FLAIR MR.
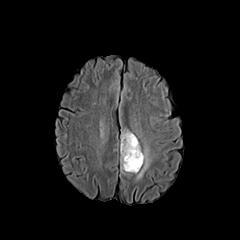
T1-weighted MR image.
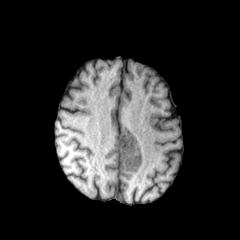
Post-contrast T1-weighted magnetic resonance.
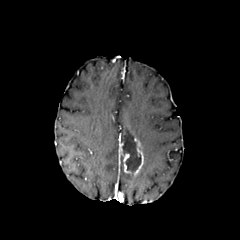
T2-weighted MR image.
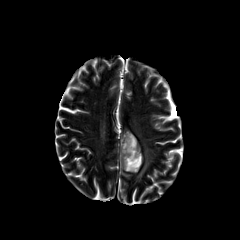
Axial view | 240x240 px
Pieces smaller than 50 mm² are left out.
The largest enhancing tumor region is bounded by bbox=[119, 132, 143, 176]. The largest peritumoral edema region is at bbox=[136, 144, 151, 179]. The largest necrotic tumor core region appears at bbox=[121, 129, 141, 172].